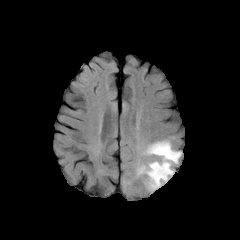
FLAIR MR image.
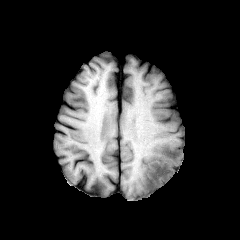
T1-weighted MRI.
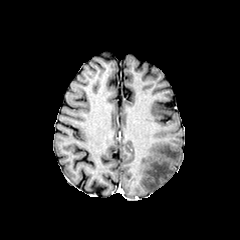
Post-contrast T1-weighted magnetic resonance of the same slice.
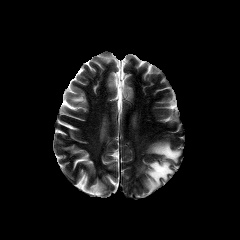
T2-weighted MR image.
Head; Axial slice
<segmentation>
  <peritumoral_edema>(138,141,181,192)</peritumoral_edema>
</segmentation>